FLAIR magnetic resonance.
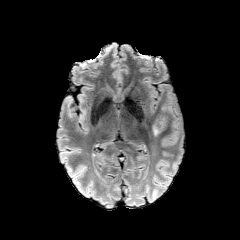
T1-weighted MR.
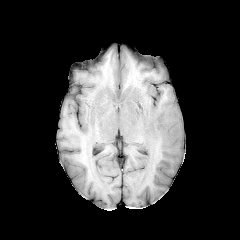
Post-contrast T1-weighted MR.
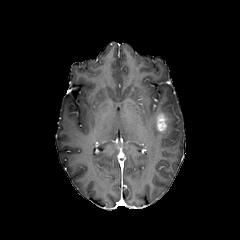
T2-weighted MRI.
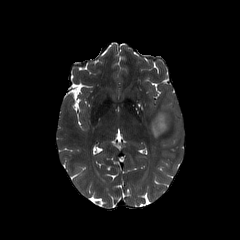
240x240
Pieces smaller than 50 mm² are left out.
peritumoral edema = (162, 104, 170, 118), (152, 120, 161, 136)
enhancing tumor = (156, 112, 166, 132)